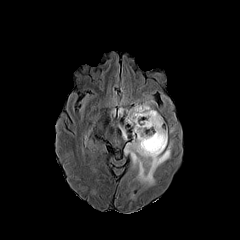
FLAIR MRI.
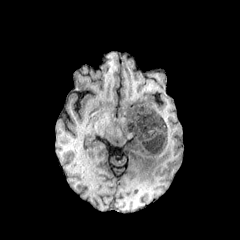
T1-weighted magnetic resonance of the same slice.
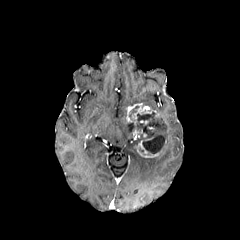
Same slice, post-contrast T1-weighted MRI.
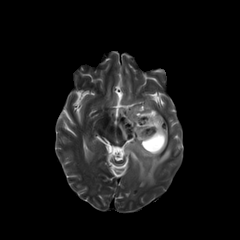
T2-weighted MR image of the same slice.
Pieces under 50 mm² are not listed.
Annotated regions:
* enhancing tumor: {"x1": 133, "y1": 129, "x2": 142, "y2": 139}, {"x1": 132, "y1": 104, "x2": 159, "y2": 124}, {"x1": 126, "y1": 106, "x2": 134, "y2": 122}, {"x1": 135, "y1": 140, "x2": 164, "y2": 157}
* necrotic tumor core: {"x1": 129, "y1": 106, "x2": 165, "y2": 153}
* peritumoral edema: {"x1": 124, "y1": 139, "x2": 173, "y2": 185}, {"x1": 119, "y1": 124, "x2": 127, "y2": 141}